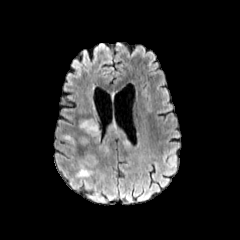
FLAIR MRI.
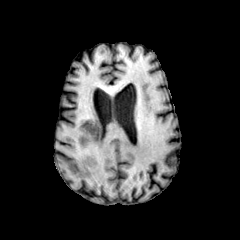
T1-weighted magnetic resonance.
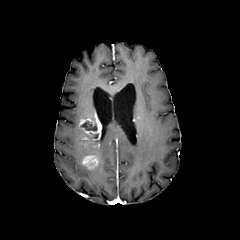
Post-contrast T1-weighted MR.
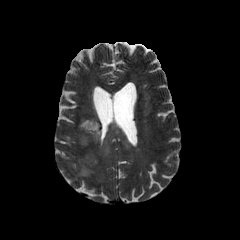
T2-weighted magnetic resonance.
Brain
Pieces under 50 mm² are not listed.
Segmented structures:
* peritumoral edema: (left=98, top=121, right=130, bottom=152), (left=76, top=159, right=93, bottom=176)
* necrotic tumor core: (left=81, top=121, right=97, bottom=130)
* enhancing tumor: (left=81, top=153, right=98, bottom=168), (left=78, top=114, right=100, bottom=148)